FLAIR MR.
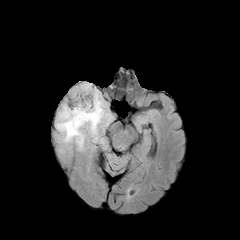
T1-weighted MR image.
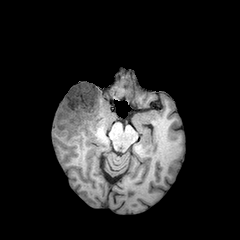
Post-contrast T1-weighted MR.
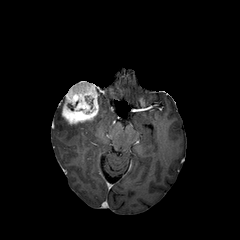
T2-weighted MR.
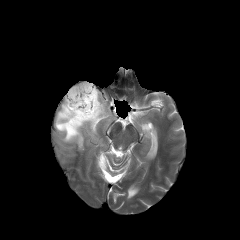
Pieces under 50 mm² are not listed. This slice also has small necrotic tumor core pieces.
The enhancing tumor is at (x1=61, y1=81, x2=99, y2=125). The peritumoral edema lies within (x1=55, y1=89, x2=111, y2=150).